Brain, Slice index 85
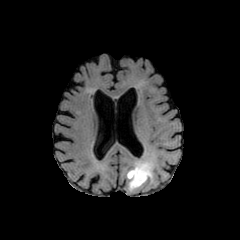
FLAIR MRI.
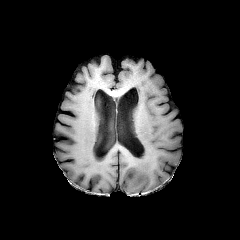
T1-weighted MR image.
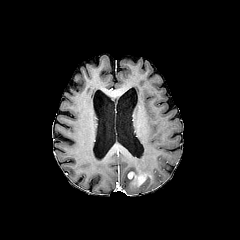
Same slice, post-contrast T1-weighted magnetic resonance.
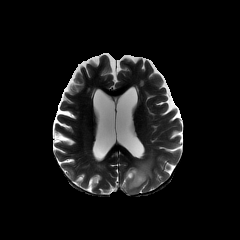
T2-weighted MRI.
The enhancing tumor lies within box=[128, 171, 149, 186]. The peritumoral edema is located at box=[126, 155, 154, 191].